Axial view, Image width 240 mm, 1.00 mm slice spacing, Slice 80/155, Brain
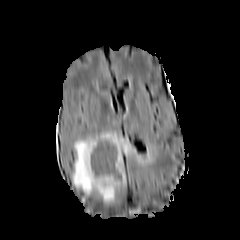
FLAIR MRI.
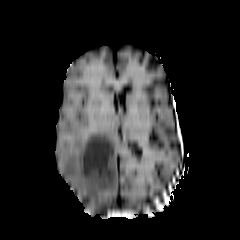
T1-weighted MR image.
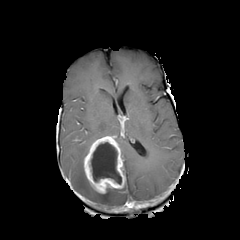
Same slice, post-contrast T1-weighted MR.
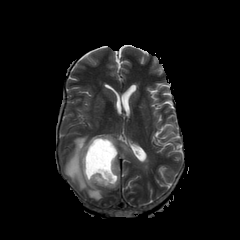
T2-weighted MR image.
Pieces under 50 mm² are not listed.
peritumoral edema — left=71, top=132, right=137, bottom=201
necrotic tumor core — left=91, top=142, right=121, bottom=184
enhancing tumor — left=83, top=136, right=125, bottom=193